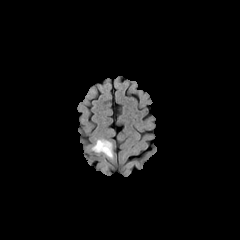
FLAIR MR image.
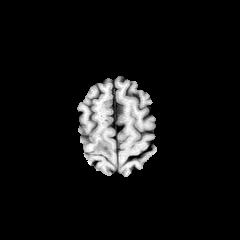
Same slice, T1-weighted MR.
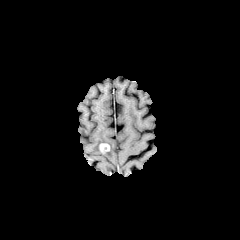
Post-contrast T1-weighted MRI of the same slice.
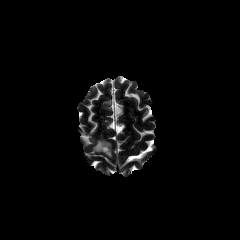
Same slice, T2-weighted MR image.
Brain
The peritumoral edema lies within x1=91 y1=138 x2=113 y2=158. The enhancing tumor is located at x1=99 y1=143 x2=109 y2=152.